FLAIR MRI.
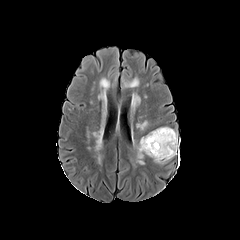
T1-weighted magnetic resonance.
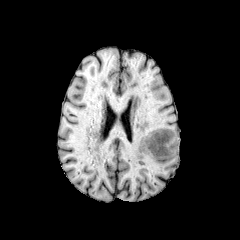
Post-contrast T1-weighted magnetic resonance.
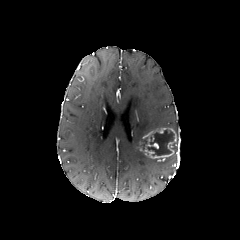
T2-weighted MR image.
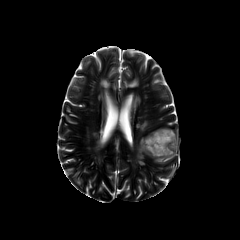
Axial slice
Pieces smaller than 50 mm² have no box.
{"necrotic_tumor_core": ["(147, 130, 174, 155)"], "enhancing_tumor": ["(140, 128, 176, 160)"], "peritumoral_edema": ["(153, 154, 175, 163)", "(137, 142, 144, 164)"]}